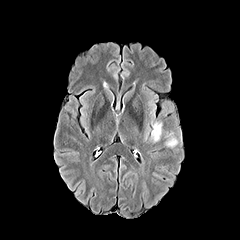
FLAIR MR image.
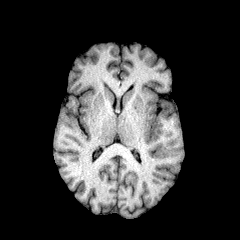
T1-weighted MRI.
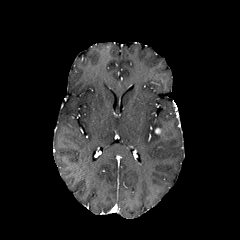
Post-contrast T1-weighted MRI of the same slice.
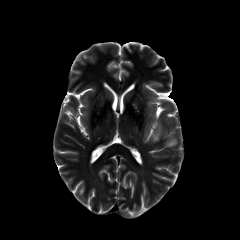
T2-weighted MR.
240x240; Brain
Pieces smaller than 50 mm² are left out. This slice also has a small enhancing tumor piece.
peritumoral edema: bounding box (left=151, top=122, right=163, bottom=142), (left=163, top=129, right=177, bottom=148)